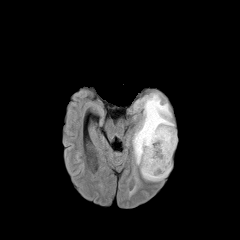
FLAIR MR image.
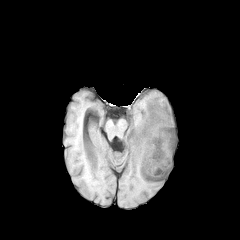
T1-weighted MR.
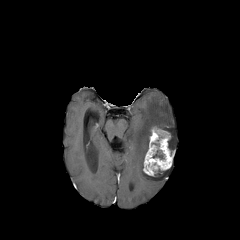
Post-contrast T1-weighted magnetic resonance of the same slice.
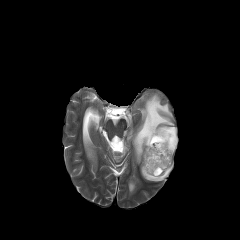
Same slice, T2-weighted MR image.
Axial slice
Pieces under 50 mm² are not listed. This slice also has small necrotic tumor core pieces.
The peritumoral edema appears at <bbox>132, 93, 177, 181</bbox>. The enhancing tumor is located at <bbox>143, 127, 173, 176</bbox>.